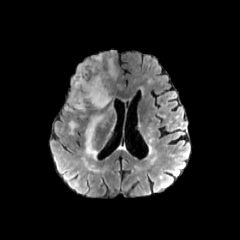
FLAIR MRI.
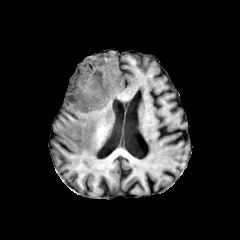
T1-weighted MR.
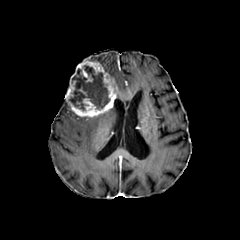
Post-contrast T1-weighted MRI.
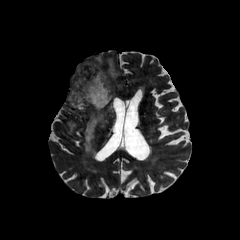
T2-weighted MR.
Image size 240x240 | Axial plane
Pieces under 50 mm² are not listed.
enhancing tumor — [65, 59, 117, 117]
peritumoral edema — [108, 59, 115, 78], [69, 121, 77, 134], [84, 114, 103, 157]
necrotic tumor core — [69, 65, 109, 110]